FLAIR MR.
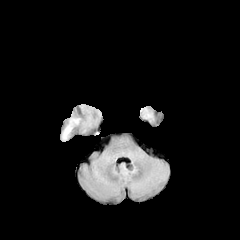
T1-weighted MRI.
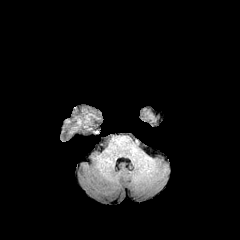
Post-contrast T1-weighted MR image.
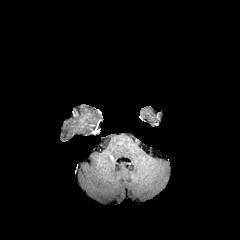
T2-weighted MR.
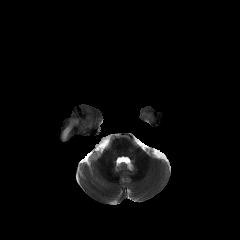
Axial slice | Image size 240x240 | Brain
Annotated regions:
• peritumoral edema: [x1=62, y1=119, x2=78, y2=139]